Slice 90 of 155.
FLAIR MR.
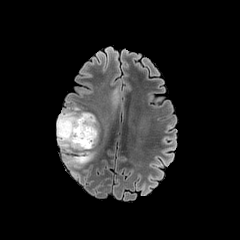
T1-weighted magnetic resonance.
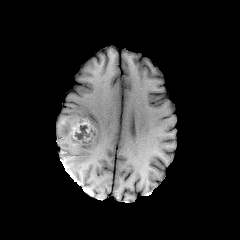
Post-contrast T1-weighted MR image.
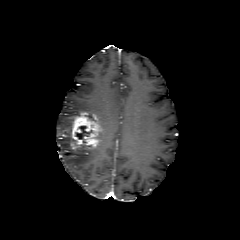
T2-weighted magnetic resonance.
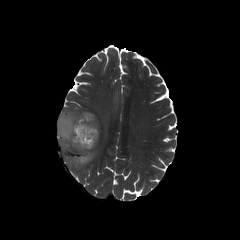
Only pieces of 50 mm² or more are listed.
enhancing tumor at box=[70, 112, 100, 148]
peritumoral edema at box=[56, 107, 94, 167]
necrotic tumor core at box=[75, 126, 92, 139]